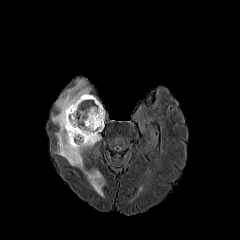
FLAIR MR.
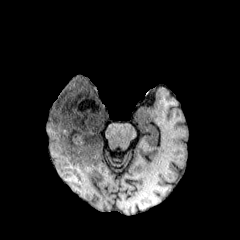
T1-weighted MR image.
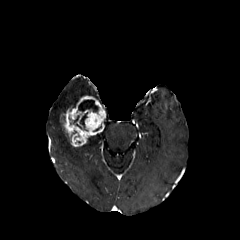
Post-contrast T1-weighted MR.
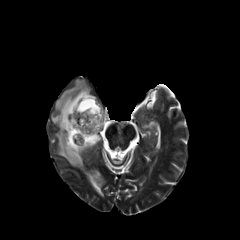
T2-weighted MR image of the same slice.
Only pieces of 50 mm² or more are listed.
Annotated regions:
- necrotic tumor core: left=78, top=100, right=98, bottom=111; left=80, top=112, right=87, bottom=127
- enhancing tumor: left=60, top=95, right=106, bottom=147
- peritumoral edema: left=51, top=79, right=104, bottom=196